240x240. Slice 99 of 155. Axial slice. Brain.
FLAIR MRI.
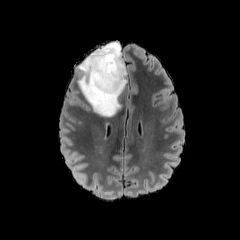
T1-weighted MR image.
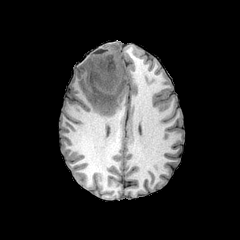
Post-contrast T1-weighted MRI.
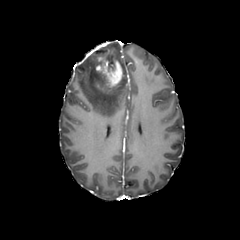
T2-weighted MR.
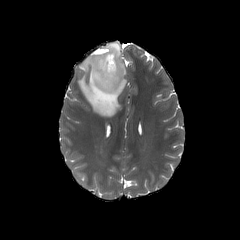
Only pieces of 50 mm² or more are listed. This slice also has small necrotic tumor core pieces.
The enhancing tumor appears at box=[96, 58, 122, 87]. The peritumoral edema is at box=[78, 42, 127, 116].